Brain. Slice index 92. Axial slice.
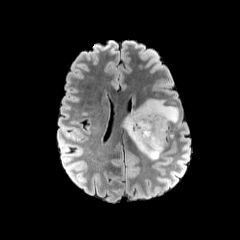
FLAIR magnetic resonance.
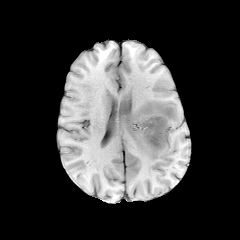
T1-weighted magnetic resonance.
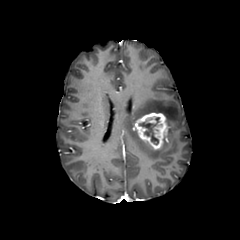
Post-contrast T1-weighted MR.
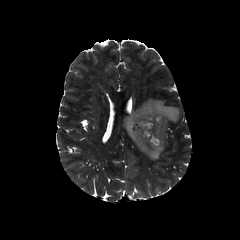
T2-weighted MR.
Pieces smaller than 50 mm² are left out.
The largest enhancing tumor region is located at 134:112:167:149. The largest necrotic tumor core region is at 138:115:159:145. The largest peritumoral edema region is at 121:98:178:159.